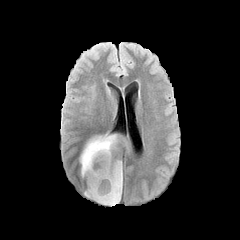
FLAIR magnetic resonance.
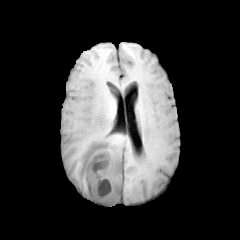
Same slice, T1-weighted MR image.
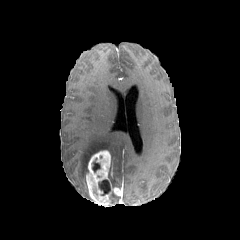
Post-contrast T1-weighted MR image.
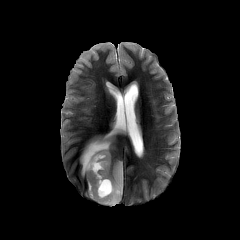
Same slice, T2-weighted magnetic resonance.
Head
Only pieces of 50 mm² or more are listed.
<segmentation>
  <enhancing_tumor>{"x1": 86, "y1": 150, "x2": 122, "y2": 206}</enhancing_tumor>
  <peritumoral_edema>{"x1": 80, "y1": 134, "x2": 131, "y2": 176}, {"x1": 108, "y1": 158, "x2": 122, "y2": 187}</peritumoral_edema>
  <necrotic_tumor_core>{"x1": 98, "y1": 179, "x2": 110, "y2": 195}, {"x1": 92, "y1": 161, "x2": 100, "y2": 171}</necrotic_tumor_core>
</segmentation>